FLAIR magnetic resonance.
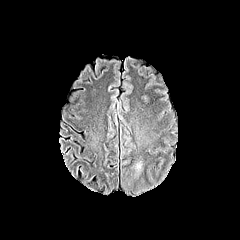
T1-weighted MR.
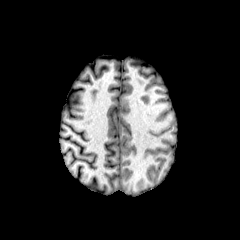
Post-contrast T1-weighted MR image.
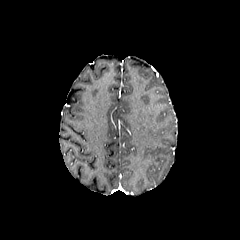
T2-weighted MR image.
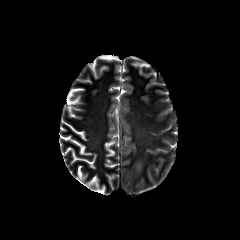
Head
peritumoral_edema:
  - bbox=[135, 161, 142, 174]